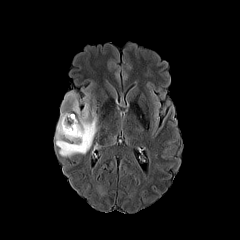
FLAIR MR.
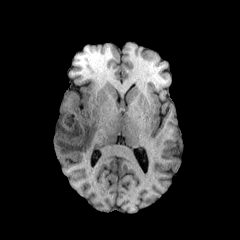
T1-weighted MRI.
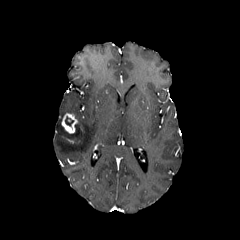
Post-contrast T1-weighted MR image of the same slice.
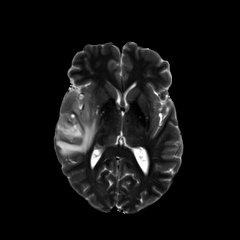
T2-weighted MR of the same slice.
Axial slice.
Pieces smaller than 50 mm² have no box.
Annotated regions:
* enhancing tumor: rect(61, 113, 77, 133)
* peritumoral edema: rect(55, 92, 98, 156)
* necrotic tumor core: rect(65, 116, 73, 126)